Image width 240 mm, 1.00 mm slice spacing. 240x240. Brain. Axial view.
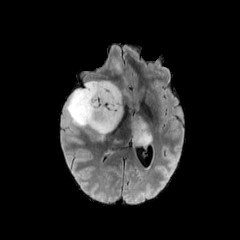
FLAIR MR.
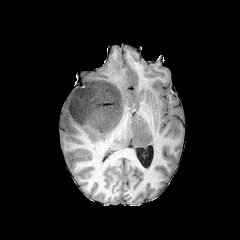
Same slice, T1-weighted MRI.
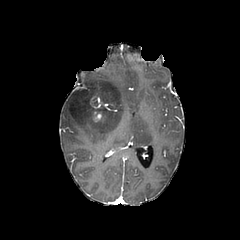
Post-contrast T1-weighted magnetic resonance.
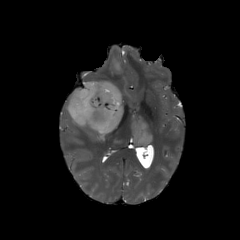
T2-weighted MR.
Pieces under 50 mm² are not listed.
{"enhancing_tumor": ["(x1=93, y1=112, x2=101, y2=120)"], "peritumoral_edema": ["(x1=66, y1=81, x2=125, y2=145)", "(x1=111, y1=139, x2=122, y2=145)", "(x1=130, y1=116, x2=154, y2=148)", "(x1=108, y1=53, x2=121, y2=76)"]}